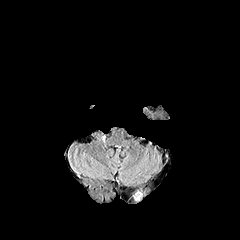
FLAIR MR.
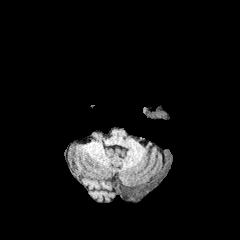
T1-weighted MR image of the same slice.
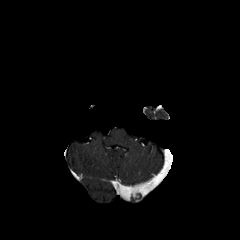
Post-contrast T1-weighted magnetic resonance of the same slice.
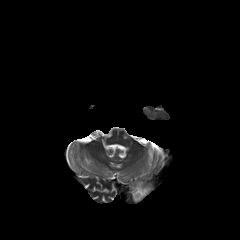
T2-weighted MR image of the same slice.
Axial view; Brain
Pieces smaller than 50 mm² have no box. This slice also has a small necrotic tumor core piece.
Findings:
• enhancing tumor: box(131, 180, 155, 201)